Head; 240x240; Slice 92 of 155; Axial slice
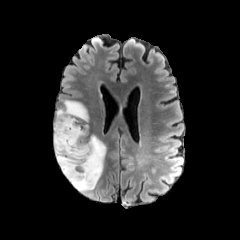
FLAIR MR.
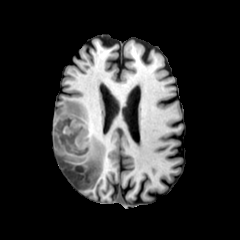
T1-weighted magnetic resonance.
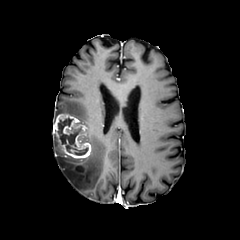
Post-contrast T1-weighted magnetic resonance.
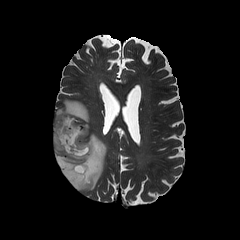
Same slice, T2-weighted magnetic resonance.
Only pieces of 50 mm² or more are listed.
<segmentation>
  <peritumoral_edema>(53, 134, 106, 192), (55, 99, 91, 133)</peritumoral_edema>
  <enhancing_tumor>(53, 114, 91, 158)</enhancing_tumor>
  <necrotic_tumor_core>(58, 117, 88, 155)</necrotic_tumor_core>
</segmentation>